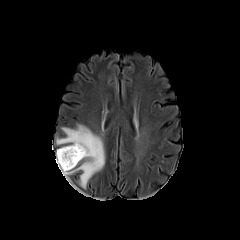
FLAIR MR image.
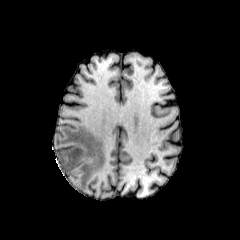
T1-weighted MR image of the same slice.
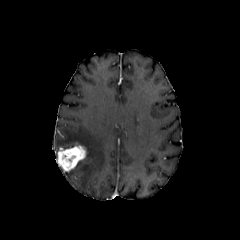
Post-contrast T1-weighted magnetic resonance.
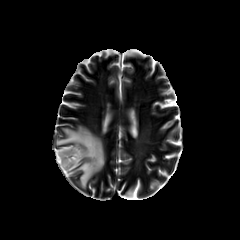
T2-weighted MR of the same slice.
240x240 px | Axial slice | Brain
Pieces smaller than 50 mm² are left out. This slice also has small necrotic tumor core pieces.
enhancing tumor — {"x1": 56, "y1": 143, "x2": 86, "y2": 172}
peritumoral edema — {"x1": 56, "y1": 124, "x2": 105, "y2": 188}